Slice 121/155; 240x240; Head
FLAIR MR image.
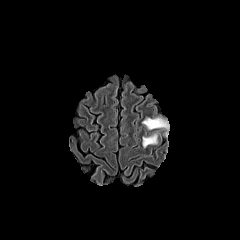
T1-weighted magnetic resonance.
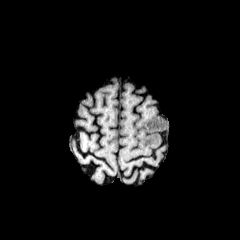
Post-contrast T1-weighted MRI.
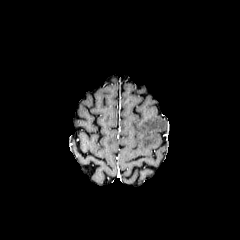
T2-weighted magnetic resonance.
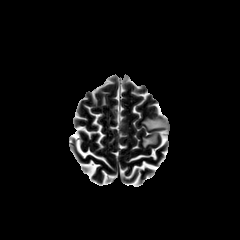
Annotated regions:
- peritumoral edema: 142:134:157:147, 142:117:168:129